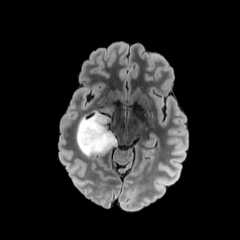
FLAIR MR image.
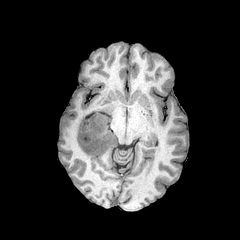
T1-weighted MRI of the same slice.
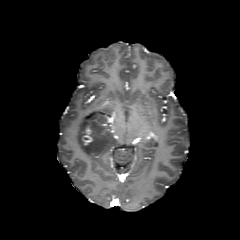
Post-contrast T1-weighted MRI.
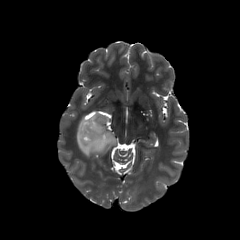
T2-weighted MRI.
Axial slice, Image size 240x240, Head
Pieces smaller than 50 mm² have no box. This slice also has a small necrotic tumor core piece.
The enhancing tumor is at l=82, t=126, r=92, b=145. 2 peritumoral edema regions are bounded by l=76, t=110, r=117, b=156; l=99, t=106, r=114, b=115.